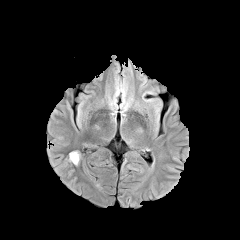
FLAIR MR.
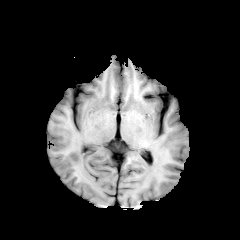
T1-weighted MR of the same slice.
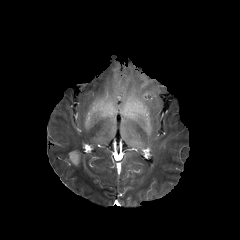
Post-contrast T1-weighted magnetic resonance of the same slice.
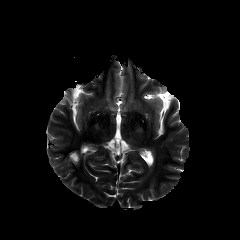
Same slice, T2-weighted MR.
Image size 240x240
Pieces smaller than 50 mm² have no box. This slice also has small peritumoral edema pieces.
The enhancing tumor is located at 69:151:78:164.